Brain. Axial slice. 240x240.
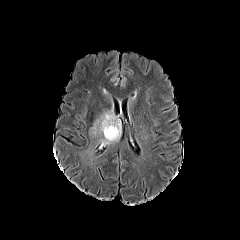
FLAIR magnetic resonance.
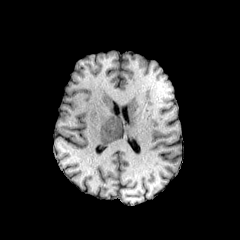
T1-weighted MR of the same slice.
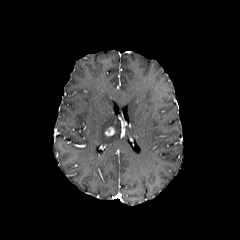
Same slice, post-contrast T1-weighted MR.
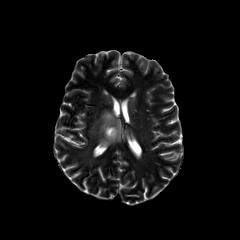
T2-weighted MR image.
{"enhancing_tumor": ["bbox(105, 126, 115, 136)"], "peritumoral_edema": ["bbox(91, 112, 120, 144)"]}